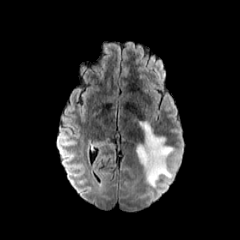
FLAIR MRI.
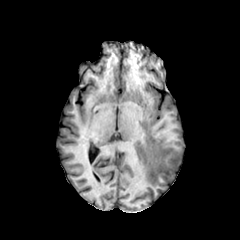
T1-weighted MR.
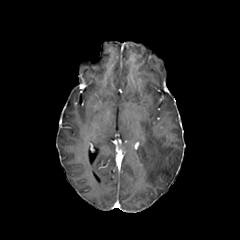
Post-contrast T1-weighted MRI.
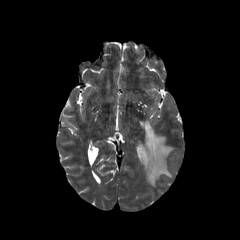
Same slice, T2-weighted MRI.
Brain.
peritumoral edema: [136, 122, 173, 186]